Axial view
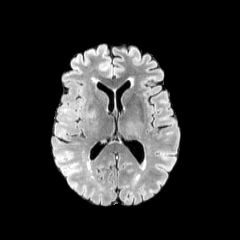
FLAIR MRI.
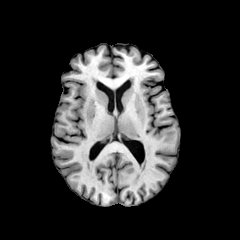
T1-weighted MR image.
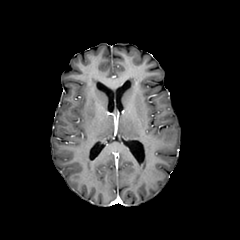
Post-contrast T1-weighted MR image.
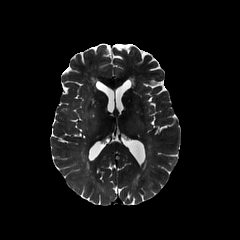
T2-weighted MR.
peritumoral edema — box=[88, 109, 96, 118]